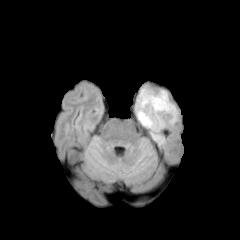
FLAIR MR image.
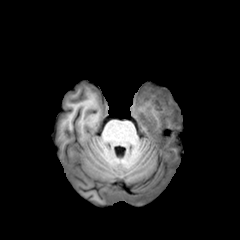
Same slice, T1-weighted MR image.
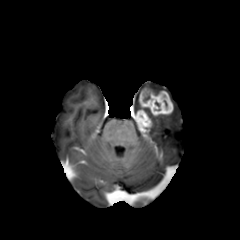
Post-contrast T1-weighted MR image.
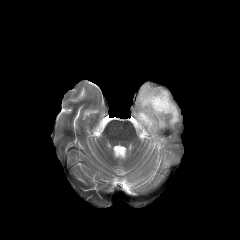
T2-weighted MR image of the same slice.
240x240.
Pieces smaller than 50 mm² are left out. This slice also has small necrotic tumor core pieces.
peritumoral edema — left=140, top=85, right=161, bottom=94; left=135, top=96, right=178, bottom=145
enhancing tumor — left=139, top=87, right=173, bottom=115; left=135, top=109, right=152, bottom=129